FLAIR MR image.
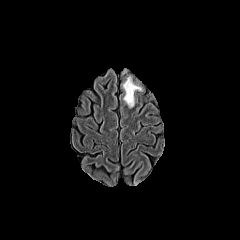
T1-weighted MRI.
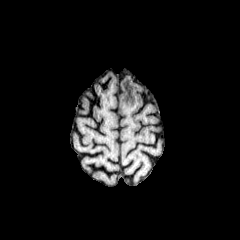
Post-contrast T1-weighted MR.
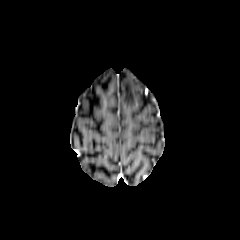
T2-weighted MRI.
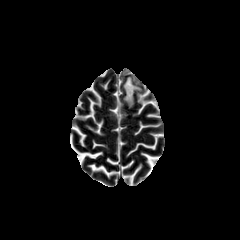
Axial plane. Brain.
peritumoral edema = 123,77,141,107